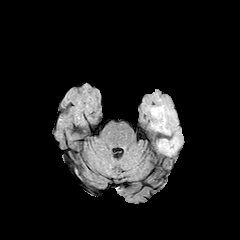
FLAIR MR.
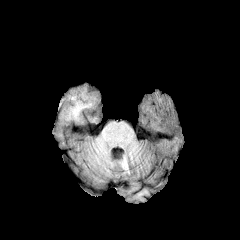
T1-weighted MR image of the same slice.
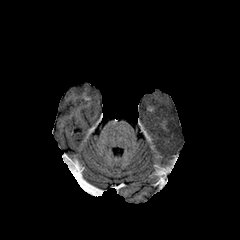
Same slice, post-contrast T1-weighted MRI.
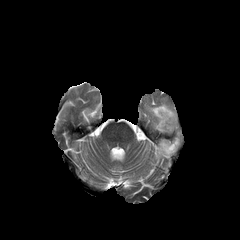
T2-weighted magnetic resonance.
Head; Axial slice
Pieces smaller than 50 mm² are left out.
The 2 largest peritumoral edema regions are located at bbox(157, 136, 179, 155); bbox(147, 99, 177, 133). The largest enhancing tumor region appears at bbox(160, 118, 167, 129).